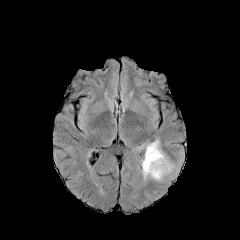
FLAIR MRI.
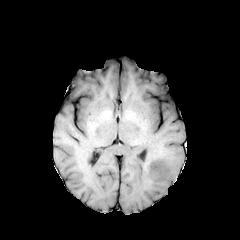
T1-weighted MR of the same slice.
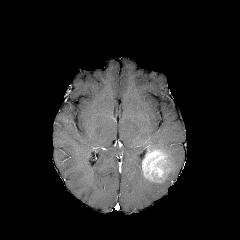
Post-contrast T1-weighted MR.
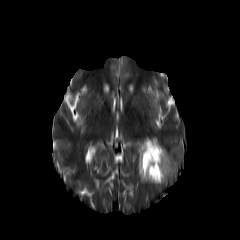
Same slice, T2-weighted MRI.
Image size 240x240; Axial view
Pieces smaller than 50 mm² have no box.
The 3 largest peritumoral edema regions are bounded by x1=137, y1=138, x2=162, y2=155; x1=137, y1=161, x2=148, y2=181; x1=165, y1=156, x2=177, y2=180. The enhancing tumor lies within x1=142, y1=146, x2=172, y2=182.